FLAIR MR.
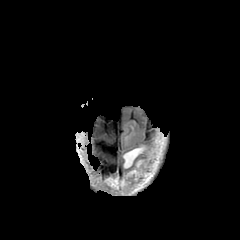
T1-weighted magnetic resonance.
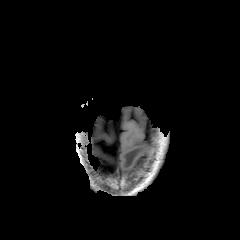
Post-contrast T1-weighted MR image.
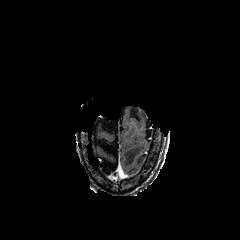
T2-weighted MR image.
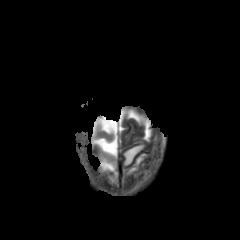
Brain
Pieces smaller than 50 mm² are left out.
<segmentation>
  <peritumoral_edema><bbox>123, 144, 145, 168</bbox>, <bbox>127, 159, 145, 175</bbox></peritumoral_edema>
</segmentation>